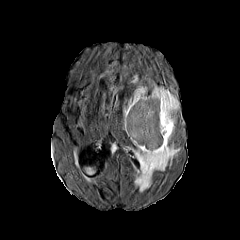
FLAIR MR image.
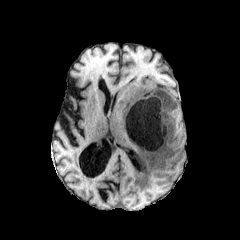
T1-weighted MRI.
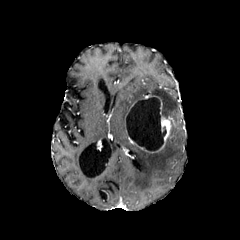
Post-contrast T1-weighted MR.
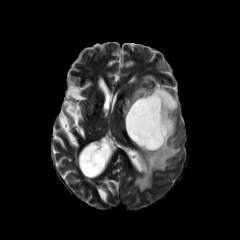
T2-weighted magnetic resonance of the same slice.
Axial plane | 240x240 | Head
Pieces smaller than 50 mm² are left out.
enhancing tumor: (129,95,173,153) | necrotic tumor core: (126,97,166,150) | peritumoral edema: (133,137,180,191), (123,86,146,120), (152,86,178,116)